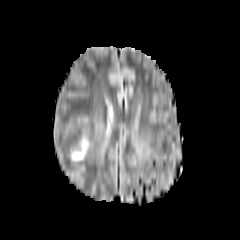
FLAIR MR.
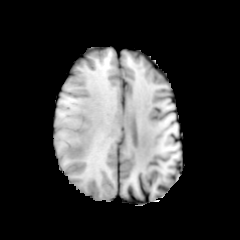
T1-weighted MRI.
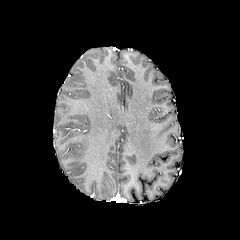
Post-contrast T1-weighted MR image.
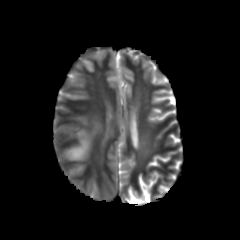
T2-weighted MR image of the same slice.
Segmented structures:
* peritumoral edema: <box>71,141,86,160</box>